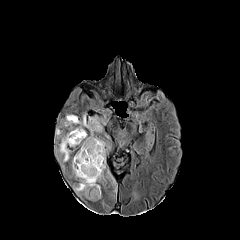
FLAIR magnetic resonance.
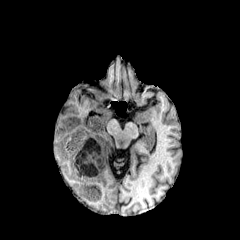
T1-weighted MR of the same slice.
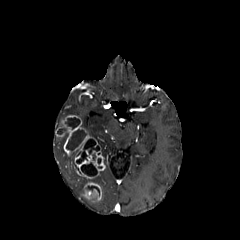
Post-contrast T1-weighted MR.
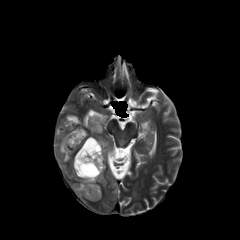
Same slice, T2-weighted MR image.
Head
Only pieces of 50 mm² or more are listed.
enhancing tumor = (55,115,98,155), (81,182,101,201), (74,145,105,179)
necrotic tumor core = (87,186,99,195), (81,163,97,176), (66,129,85,150), (65,117,79,129), (76,139,99,163)
peritumoral edema = (81,115,106,136), (72,157,105,195), (56,133,69,161), (94,137,109,164), (107,170,117,193)